FLAIR MR.
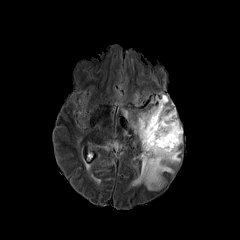
T1-weighted magnetic resonance.
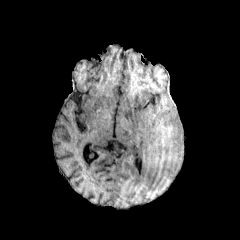
Post-contrast T1-weighted magnetic resonance.
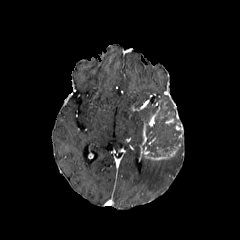
T2-weighted MR.
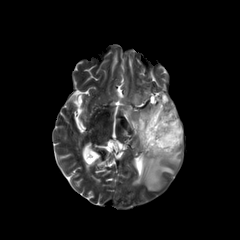
Head
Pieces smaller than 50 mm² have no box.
The 3 largest enhancing tumor regions appear at (left=142, top=143, right=180, bottom=160), (left=175, top=122, right=183, bottom=138), (left=142, top=107, right=160, bottom=145). The 2 largest peritumoral edema regions appear at (left=140, top=151, right=180, bottom=190), (left=131, top=94, right=168, bottom=141). The largest necrotic tumor core region lies within (left=143, top=104, right=181, bottom=157).